FLAIR MR.
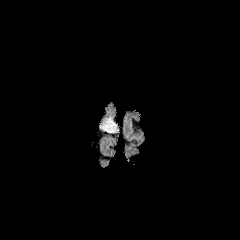
T1-weighted magnetic resonance.
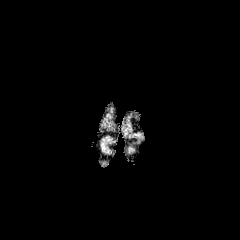
Post-contrast T1-weighted MR image.
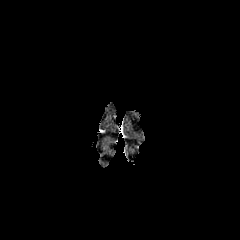
T2-weighted MR image.
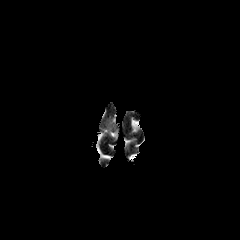
Axial plane
peritumoral edema: bbox(102, 117, 116, 132)